Axial slice, 240x240 px, Brain
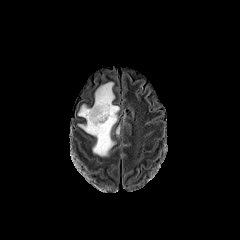
FLAIR MRI.
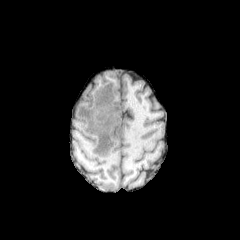
T1-weighted magnetic resonance.
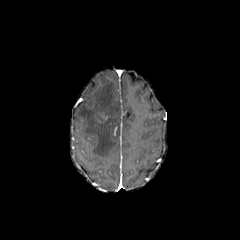
Post-contrast T1-weighted MR image.
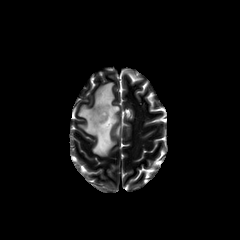
T2-weighted MR.
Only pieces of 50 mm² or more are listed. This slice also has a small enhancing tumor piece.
The largest peritumoral edema region is bounded by (left=78, top=82, right=119, bottom=156).